Image covers 240 mm x 240 mm. 240x240 px.
FLAIR MR image.
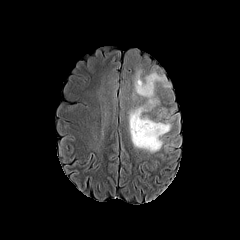
T1-weighted MR.
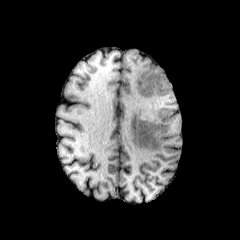
Post-contrast T1-weighted MR image.
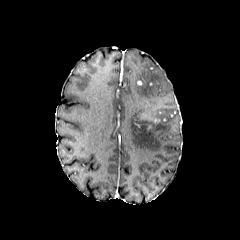
T2-weighted MRI.
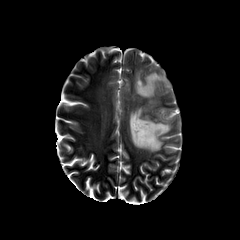
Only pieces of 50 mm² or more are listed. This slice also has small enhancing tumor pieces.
peritumoral edema: (x1=129, y1=70, x2=171, y2=152)